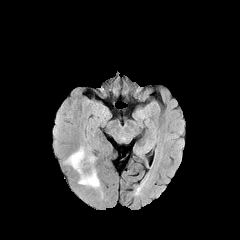
FLAIR MR image.
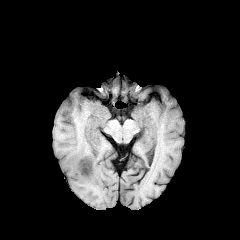
T1-weighted magnetic resonance of the same slice.
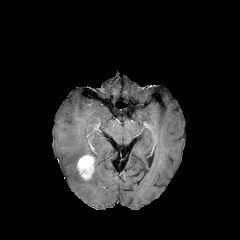
Post-contrast T1-weighted magnetic resonance.
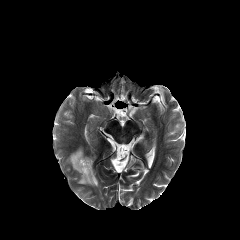
Same slice, T2-weighted magnetic resonance.
240x240. Head.
2 peritumoral edema regions are bounded by l=78, t=170, r=99, b=187; l=64, t=147, r=89, b=171. The enhancing tumor is bounded by l=76, t=155, r=94, b=180.